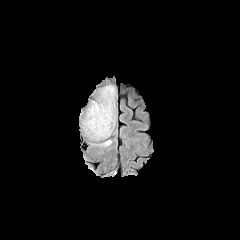
FLAIR magnetic resonance.
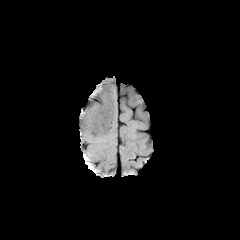
Same slice, T1-weighted magnetic resonance.
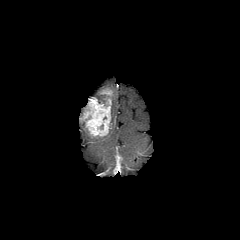
Same slice, post-contrast T1-weighted MRI.
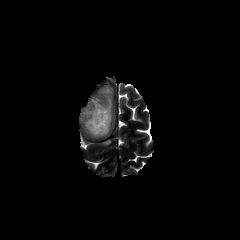
T2-weighted MR image.
Head.
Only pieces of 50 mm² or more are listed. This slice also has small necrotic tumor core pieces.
peritumoral edema — box=[79, 105, 86, 129]; box=[83, 85, 114, 138]
enhancing tumor — box=[80, 87, 112, 136]